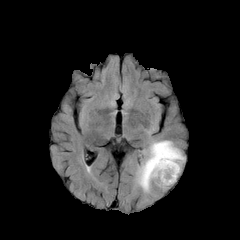
FLAIR MR image.
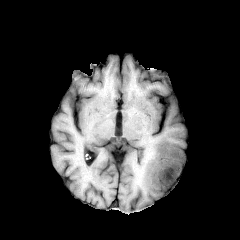
T1-weighted MRI of the same slice.
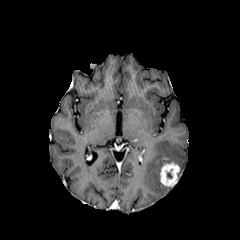
Post-contrast T1-weighted MR image.
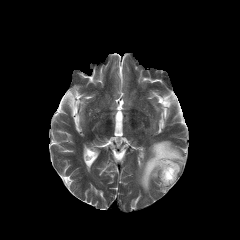
T2-weighted MRI.
Axial plane
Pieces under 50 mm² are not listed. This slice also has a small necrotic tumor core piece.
Segmented structures:
* peritumoral edema: box=[137, 140, 185, 192]
* enhancing tumor: box=[160, 162, 180, 187]